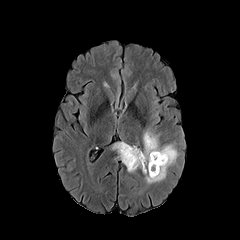
FLAIR MRI.
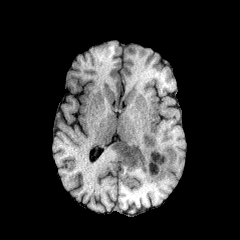
T1-weighted MRI of the same slice.
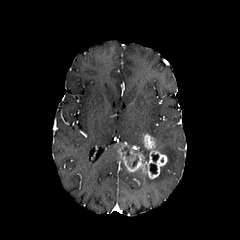
Post-contrast T1-weighted MR of the same slice.
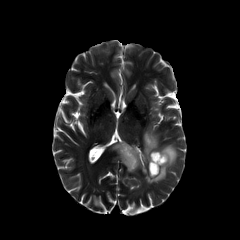
T2-weighted magnetic resonance.
Axial slice
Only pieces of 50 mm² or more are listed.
The largest necrotic tumor core region is bounded by bbox=[150, 163, 157, 174]. The enhancing tumor is bounded by bbox=[114, 133, 167, 178]. The 2 largest peritumoral edema regions appear at bbox=[142, 147, 149, 160]; bbox=[144, 129, 178, 183].